Brain | Axial slice | 240x240 px
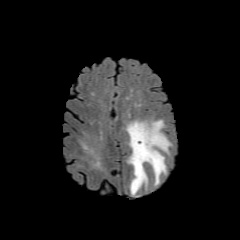
FLAIR MR image.
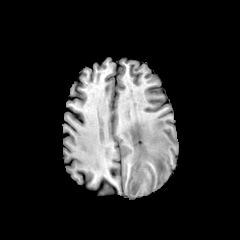
T1-weighted MR.
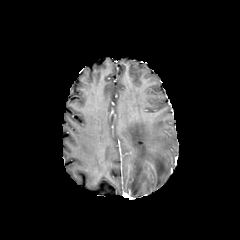
Post-contrast T1-weighted MR image.
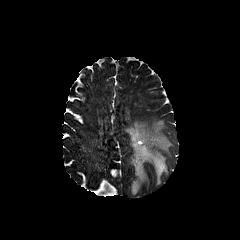
T2-weighted MR.
The peritumoral edema lies within [125,120,172,195].